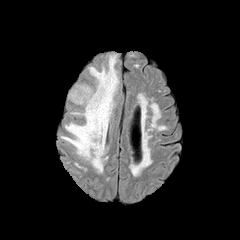
FLAIR MRI.
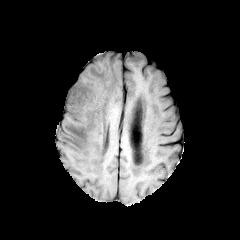
T1-weighted magnetic resonance of the same slice.
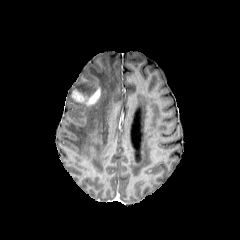
Post-contrast T1-weighted MR.
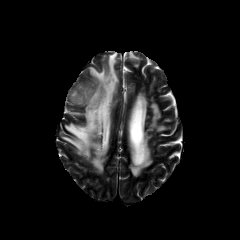
T2-weighted MR.
240x240
Segmented structures:
- enhancing tumor: bbox(71, 87, 100, 105)
- peritumoral edema: bbox(61, 54, 119, 172)